Head; Axial view; Slice 124/155
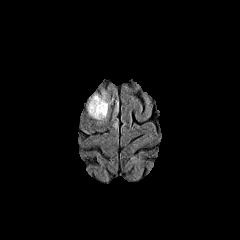
FLAIR MRI.
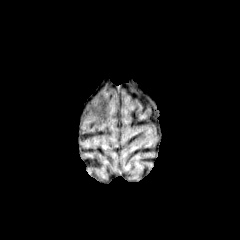
Same slice, T1-weighted MR.
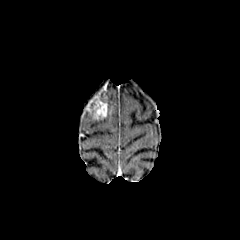
Same slice, post-contrast T1-weighted magnetic resonance.
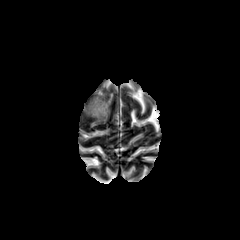
T2-weighted MRI.
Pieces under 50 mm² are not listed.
enhancing tumor: (87, 96, 107, 119) | peritumoral edema: (111, 101, 118, 128)